FLAIR MRI.
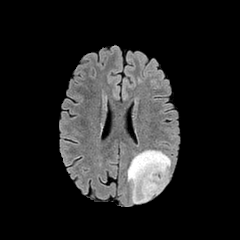
T1-weighted MRI.
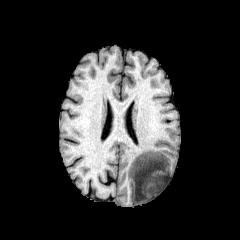
Post-contrast T1-weighted magnetic resonance.
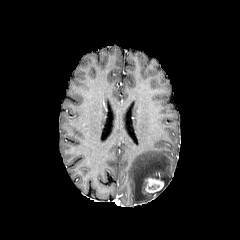
T2-weighted magnetic resonance.
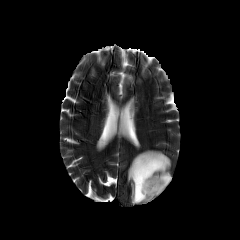
Axial slice, Brain
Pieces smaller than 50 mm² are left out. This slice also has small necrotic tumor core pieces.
Annotated regions:
- enhancing tumor: (142, 177, 163, 194)
- peritumoral edema: (127, 150, 170, 203)